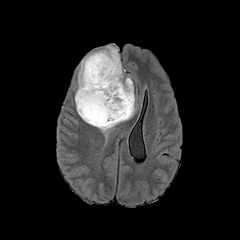
FLAIR magnetic resonance.
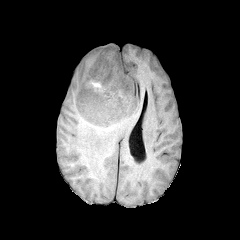
T1-weighted MRI of the same slice.
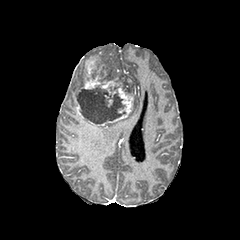
Post-contrast T1-weighted MRI.
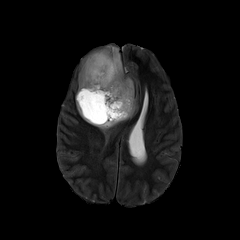
T2-weighted MRI of the same slice.
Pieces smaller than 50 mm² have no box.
peritumoral edema = box=[75, 45, 137, 135]
enhancing tumor = box=[77, 55, 106, 96]; box=[101, 78, 121, 93]; box=[96, 86, 133, 125]
necrotic tumor core = box=[76, 85, 125, 124]